Image covers 240 mm x 240 mm; Axial plane; Brain
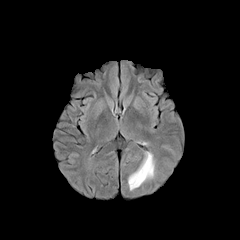
FLAIR MR.
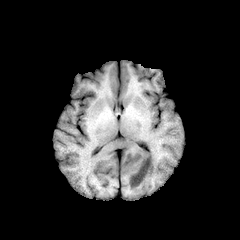
T1-weighted MRI.
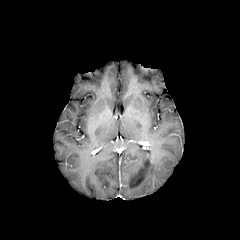
Post-contrast T1-weighted MR.
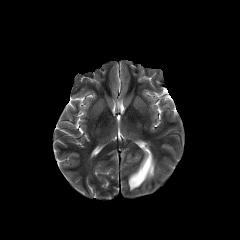
T2-weighted MR.
The peritumoral edema appears at 128, 152, 155, 190.